Slice 82 of 155, Image size 240x240, Axial plane, Head
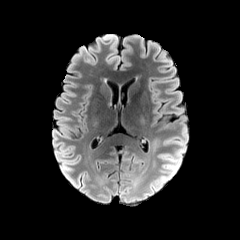
FLAIR magnetic resonance.
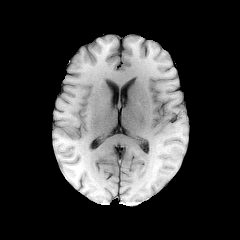
T1-weighted MRI of the same slice.
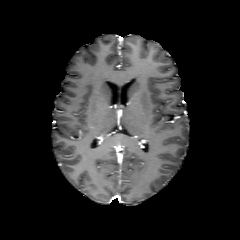
Same slice, post-contrast T1-weighted MR image.
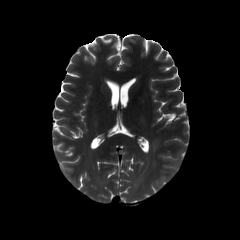
T2-weighted magnetic resonance.
{"peritumoral_edema": ["156,136,186,187"]}